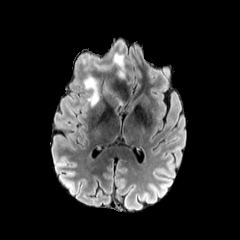
FLAIR MR.
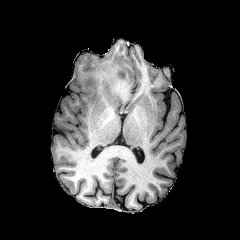
T1-weighted MR image of the same slice.
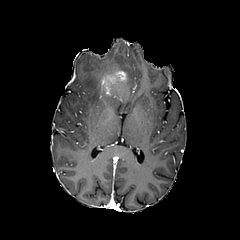
Post-contrast T1-weighted MR image.
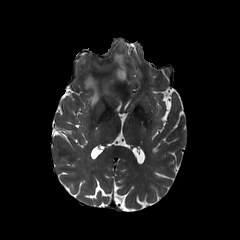
T2-weighted MRI.
Axial slice.
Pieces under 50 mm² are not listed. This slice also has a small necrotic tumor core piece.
<segmentation>
  <enhancing_tumor><box>109,70,126,83</box></enhancing_tumor>
  <peritumoral_edema><box>97,54,126,73</box>, <box>83,75,124,107</box></peritumoral_edema>
</segmentation>